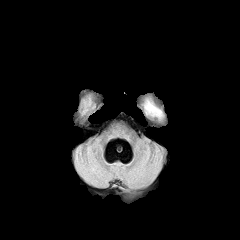
FLAIR MR.
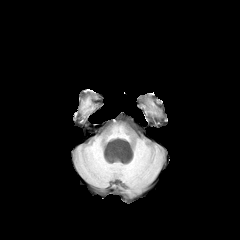
T1-weighted magnetic resonance.
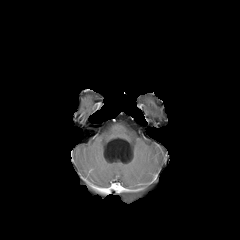
Post-contrast T1-weighted MR.
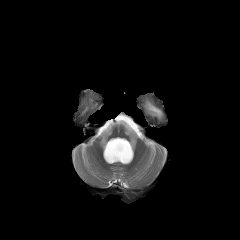
T2-weighted MR.
Image size 240x240 | Brain
peritumoral edema at box(145, 101, 162, 117)